FLAIR magnetic resonance.
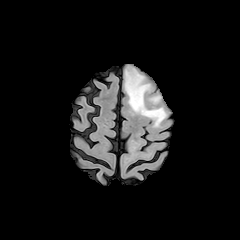
T1-weighted magnetic resonance.
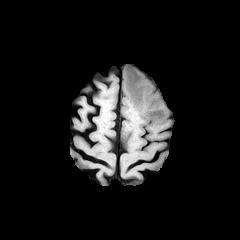
Post-contrast T1-weighted MR image.
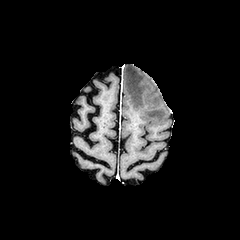
T2-weighted MR.
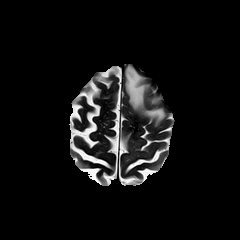
Brain. Image size 240x240. Axial view.
peritumoral edema: box(124, 66, 166, 127); box(150, 97, 160, 103)